FLAIR MR image.
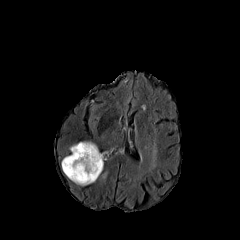
T1-weighted magnetic resonance.
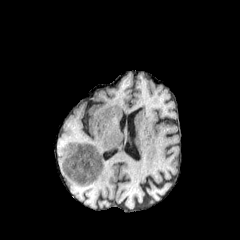
Post-contrast T1-weighted magnetic resonance.
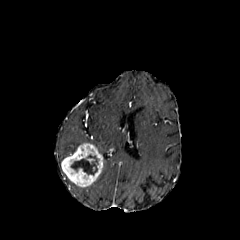
T2-weighted MRI.
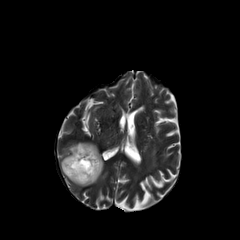
Head
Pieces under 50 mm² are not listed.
<segmentation>
  <enhancing_tumor>box(61, 143, 103, 186)</enhancing_tumor>
  <peritumoral_edema>box(69, 141, 94, 153)</peritumoral_edema>
  <necrotic_tumor_core>box(71, 155, 97, 174)</necrotic_tumor_core>
</segmentation>